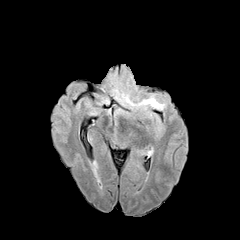
FLAIR MRI.
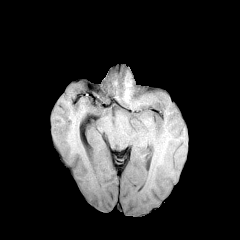
T1-weighted MR.
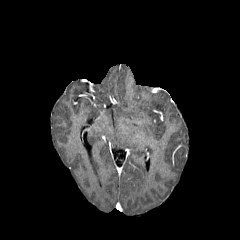
Post-contrast T1-weighted MRI.
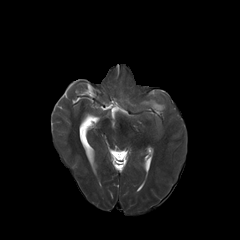
Same slice, T2-weighted MR.
Head
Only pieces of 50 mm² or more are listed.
The largest peritumoral edema region appears at x1=138 y1=97 x2=165 y2=110.